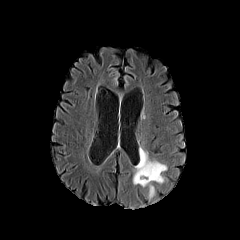
FLAIR MR.
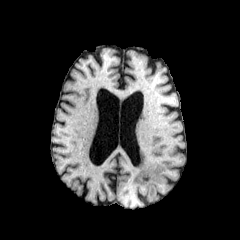
T1-weighted MRI.
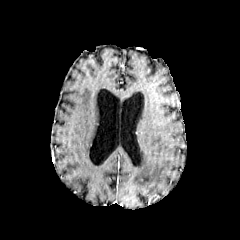
Post-contrast T1-weighted MR.
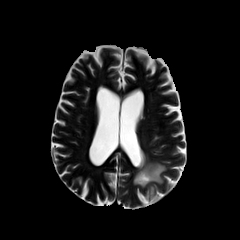
Same slice, T2-weighted MR.
Brain | Axial slice
peritumoral edema: 149,186,154,197; 133,148,166,186